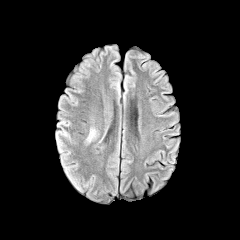
FLAIR MR image.
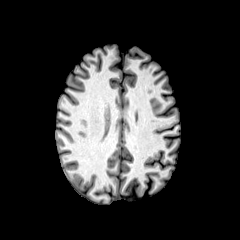
T1-weighted MRI.
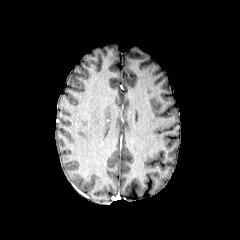
Post-contrast T1-weighted magnetic resonance.
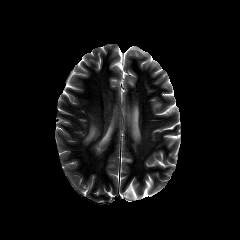
T2-weighted MRI.
Image size 240x240, Axial plane
peritumoral edema: <bbox>87, 129, 95, 141</bbox>